Axial plane | Slice index 65 | Head | Image size 240x240
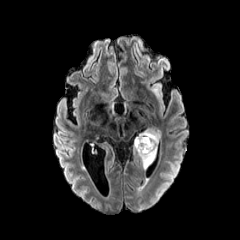
FLAIR MR image.
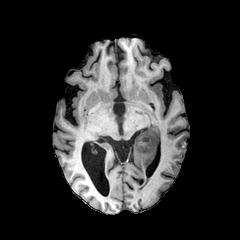
T1-weighted MR image of the same slice.
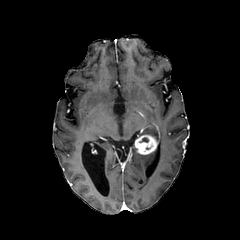
Post-contrast T1-weighted MRI.
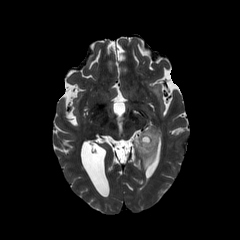
Same slice, T2-weighted MR.
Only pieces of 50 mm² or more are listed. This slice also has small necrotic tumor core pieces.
enhancing tumor at 134:134:157:154
peritumoral edema at 139:128:161:143, 134:147:157:169